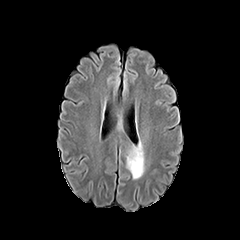
FLAIR MRI.
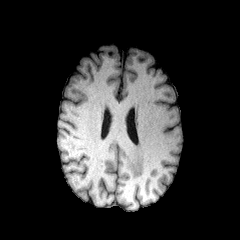
Same slice, T1-weighted magnetic resonance.
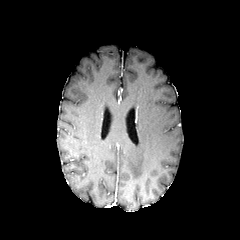
Post-contrast T1-weighted MR.
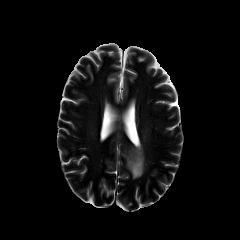
T2-weighted MRI of the same slice.
Brain | 240x240 px | Axial plane
peritumoral edema at (x1=126, y1=142, x2=144, y2=178)